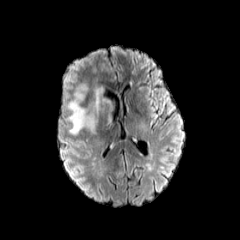
FLAIR MR.
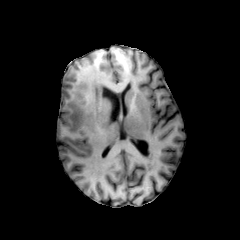
T1-weighted magnetic resonance.
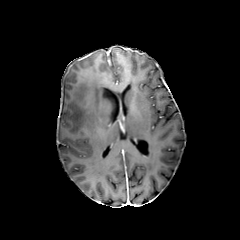
Same slice, post-contrast T1-weighted MR.
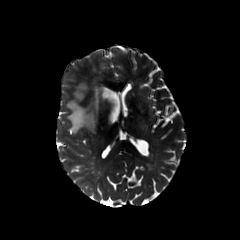
T2-weighted MR image.
240x240 px; Brain
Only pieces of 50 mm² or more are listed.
peritumoral edema at l=66, t=83, r=113, b=134